Brain. Axial plane. Image covers 240 mm x 240 mm. Slice 60 of 155.
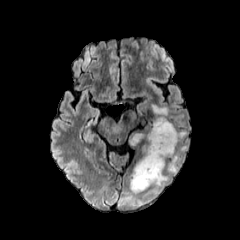
FLAIR magnetic resonance.
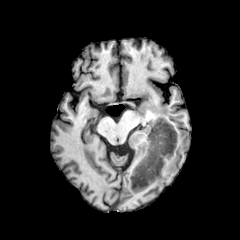
T1-weighted MR of the same slice.
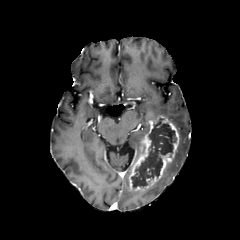
Post-contrast T1-weighted magnetic resonance.
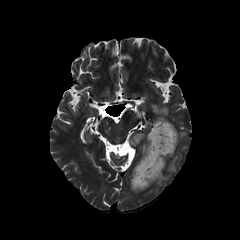
Same slice, T2-weighted MRI.
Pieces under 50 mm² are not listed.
The 4 largest peritumoral edema regions appear at bbox(152, 105, 168, 117); bbox(154, 174, 168, 186); bbox(133, 133, 144, 143); bbox(165, 130, 187, 174). The largest enhancing tumor region is bounded by bbox(129, 115, 179, 191). The necrotic tumor core is at bbox(131, 118, 176, 188).